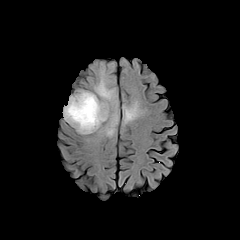
FLAIR MRI.
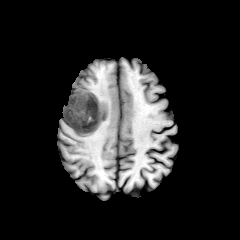
T1-weighted MR image.
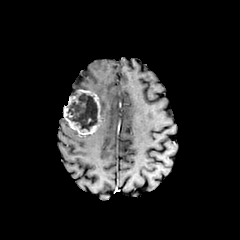
Post-contrast T1-weighted magnetic resonance.
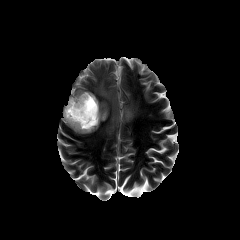
Same slice, T2-weighted MRI.
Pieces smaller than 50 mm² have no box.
Segmented structures:
• enhancing tumor: bbox=[63, 89, 103, 134]
• peritumoral edema: bbox=[94, 73, 118, 137]; bbox=[122, 101, 138, 125]
• necrotic tumor core: bbox=[67, 93, 97, 130]